Head; 240x240 px; Slice 89/155
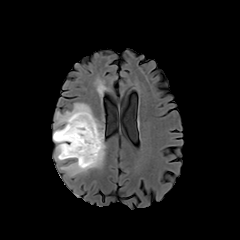
FLAIR MR.
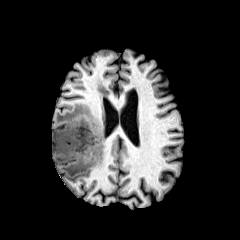
T1-weighted MRI.
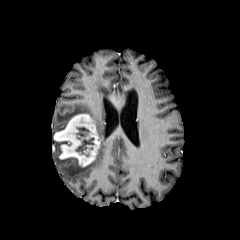
Post-contrast T1-weighted MR image of the same slice.
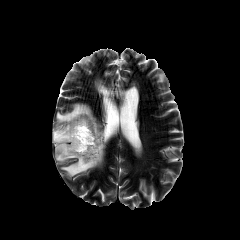
Same slice, T2-weighted MR image.
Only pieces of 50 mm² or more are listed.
necrotic tumor core = (x1=76, y1=138, x2=94, y2=153), (x1=76, y1=127, x2=89, y2=139)
enhancing tumor = (x1=53, y1=114, x2=100, y2=166)
peritumoral edema = (x1=53, y1=103, x2=105, y2=177)